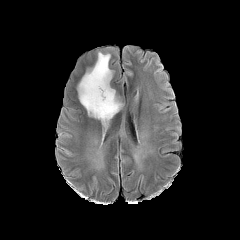
FLAIR magnetic resonance.
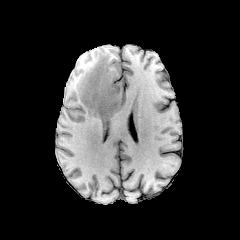
T1-weighted magnetic resonance.
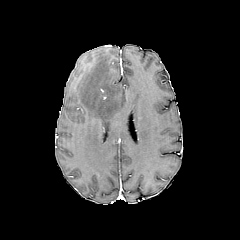
Post-contrast T1-weighted MR image.
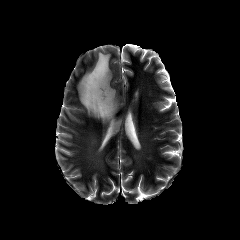
T2-weighted magnetic resonance.
Axial plane.
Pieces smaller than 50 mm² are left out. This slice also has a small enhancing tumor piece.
<segmentation>
  <peritumoral_edema>box(78, 52, 122, 125)</peritumoral_edema>
</segmentation>